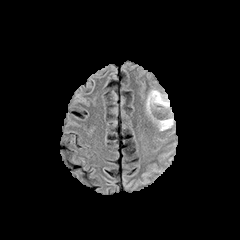
FLAIR MRI.
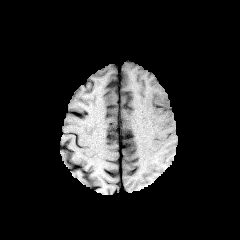
T1-weighted MRI.
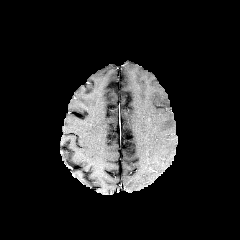
Same slice, post-contrast T1-weighted MR.
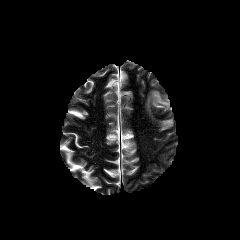
T2-weighted magnetic resonance.
Axial view.
peritumoral edema: bounding box (left=145, top=90, right=173, bottom=130)